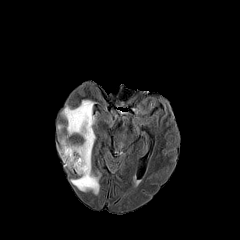
FLAIR magnetic resonance.
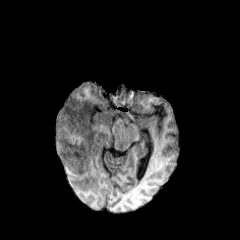
Same slice, T1-weighted magnetic resonance.
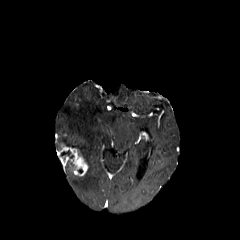
Post-contrast T1-weighted MR.
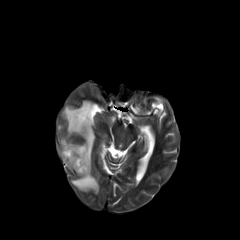
Same slice, T2-weighted MRI.
Axial plane; 240x240
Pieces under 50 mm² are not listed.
The largest peritumoral edema region lies within 62, 100, 100, 194. The enhancing tumor lies within 58, 143, 88, 176. The largest necrotic tumor core region appears at 60, 150, 73, 158.